Axial plane. Head.
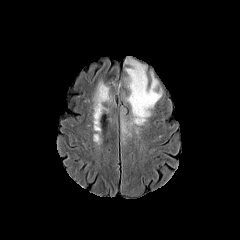
FLAIR MRI.
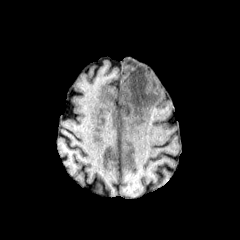
T1-weighted magnetic resonance.
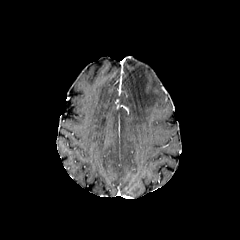
Post-contrast T1-weighted MR.
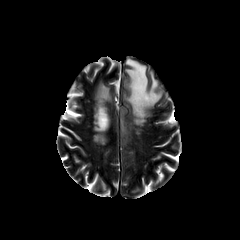
T2-weighted MRI.
peritumoral edema: x1=94 y1=79 x2=108 y2=119, x1=120 y1=58 x2=164 y2=136